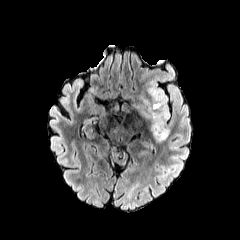
FLAIR MR.
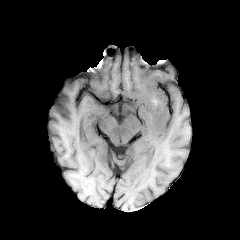
Same slice, T1-weighted MRI.
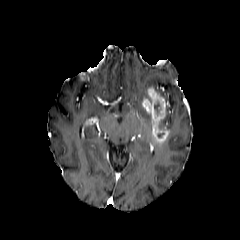
Post-contrast T1-weighted MR image of the same slice.
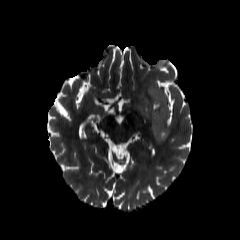
T2-weighted MR image of the same slice.
240x240 px; Brain
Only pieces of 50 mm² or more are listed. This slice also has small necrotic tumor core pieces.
Annotated regions:
• enhancing tumor: <box>142,87,169,143</box>
• peritumoral edema: <box>149,81,166,100</box>